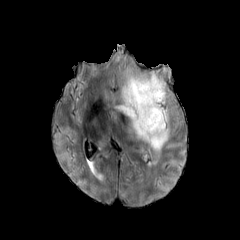
FLAIR MR image.
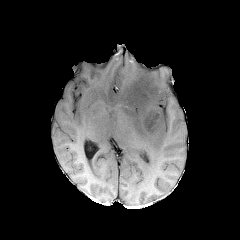
T1-weighted MR image.
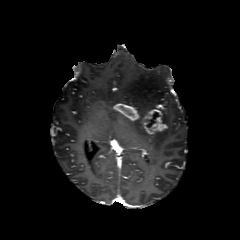
Post-contrast T1-weighted MRI.
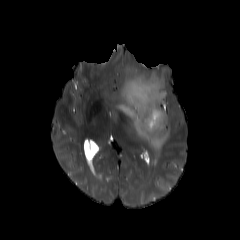
T2-weighted magnetic resonance.
Brain
• enhancing tumor: rect(142, 108, 167, 134); rect(114, 103, 139, 120)
• necrotic tumor core: rect(146, 112, 159, 127)
• peritumoral edema: rect(117, 71, 169, 152)